Axial plane, Brain, Slice 100/155
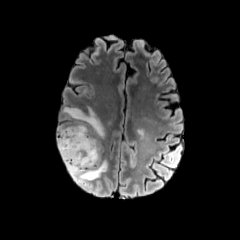
FLAIR MR.
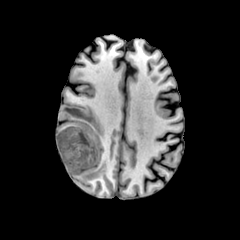
Same slice, T1-weighted magnetic resonance.
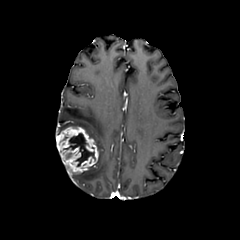
Post-contrast T1-weighted MR.
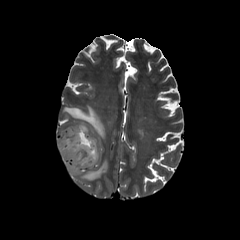
Same slice, T2-weighted magnetic resonance.
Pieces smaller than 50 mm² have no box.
Segmented structures:
• peritumoral edema: {"x1": 57, "y1": 106, "x2": 107, "y2": 183}
• necrotic tumor core: {"x1": 63, "y1": 133, "x2": 95, "y2": 166}
• enhancing tumor: {"x1": 56, "y1": 126, "x2": 98, "y2": 175}